FLAIR MR image.
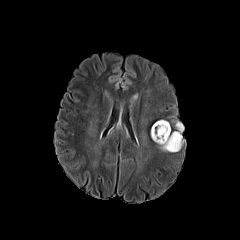
T1-weighted magnetic resonance.
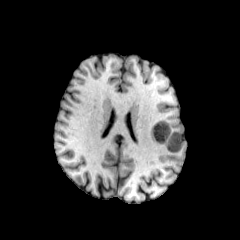
Post-contrast T1-weighted MR image.
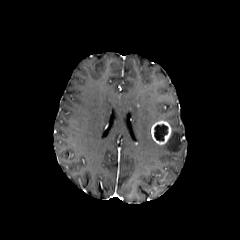
T2-weighted magnetic resonance.
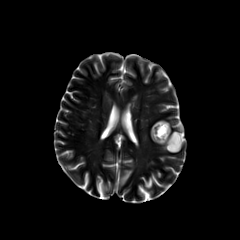
240x240 px, Axial plane
necrotic tumor core at {"x1": 154, "y1": 124, "x2": 168, "y2": 141}
peritumoral edema at {"x1": 159, "y1": 120, "x2": 183, "y2": 152}
enhancing tumor at {"x1": 151, "y1": 120, "x2": 171, "y2": 144}